FLAIR MR.
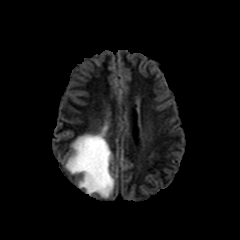
T1-weighted MR.
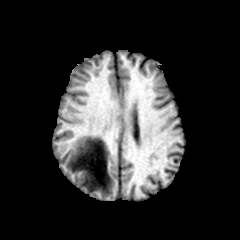
Post-contrast T1-weighted MRI.
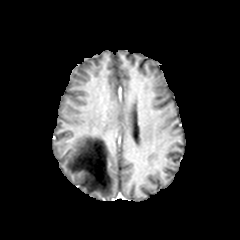
T2-weighted MR.
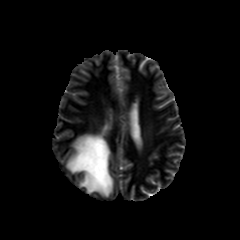
Brain; Axial slice
Segmented structures:
• peritumoral edema: region(65, 124, 114, 197)